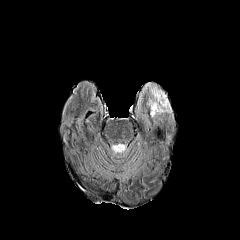
FLAIR MR image.
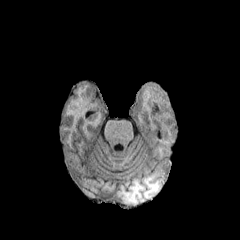
T1-weighted MRI.
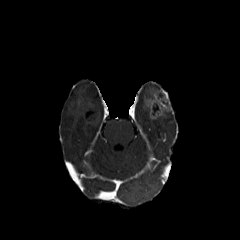
Post-contrast T1-weighted MRI of the same slice.
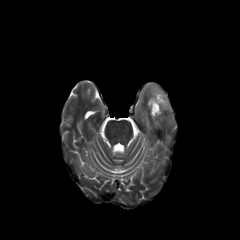
Same slice, T2-weighted MRI.
Head.
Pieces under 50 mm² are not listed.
peritumoral edema: rect(144, 83, 160, 98) | enhancing tumor: rect(146, 89, 172, 119) | necrotic tumor core: rect(152, 104, 158, 115)